Head, Slice 94 of 155
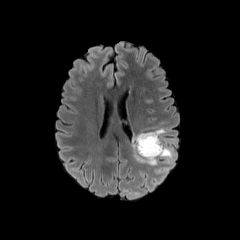
FLAIR MR.
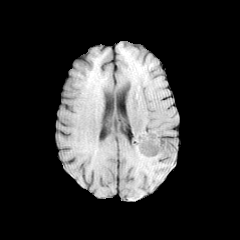
T1-weighted magnetic resonance.
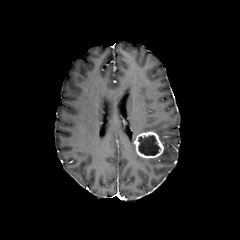
Same slice, post-contrast T1-weighted MR.
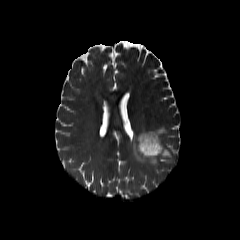
T2-weighted MR.
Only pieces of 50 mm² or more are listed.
Segmented structures:
• peritumoral edema: rect(132, 127, 173, 165)
• necrotic tumor core: rect(138, 135, 159, 155)
• enhancing tumor: rect(134, 131, 163, 158)